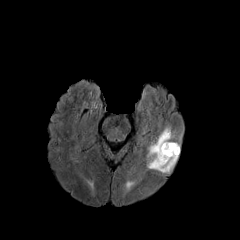
FLAIR magnetic resonance.
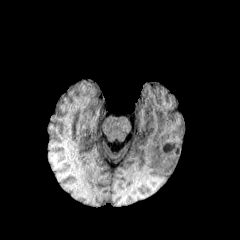
Same slice, T1-weighted magnetic resonance.
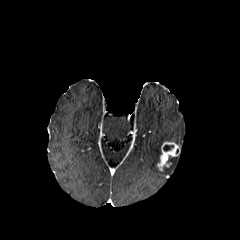
Post-contrast T1-weighted magnetic resonance.
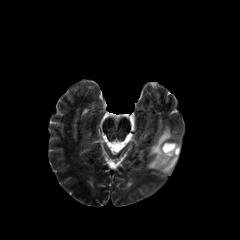
T2-weighted MR image of the same slice.
Brain
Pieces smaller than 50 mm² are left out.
The 2 largest peritumoral edema regions appear at box=[147, 126, 174, 170]; box=[161, 157, 177, 173]. The largest necrotic tumor core region is at box=[163, 144, 173, 151]. The enhancing tumor is at box=[157, 141, 180, 170].